FLAIR magnetic resonance.
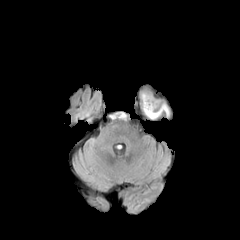
T1-weighted MRI.
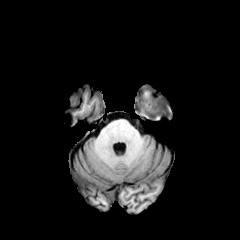
Post-contrast T1-weighted MRI.
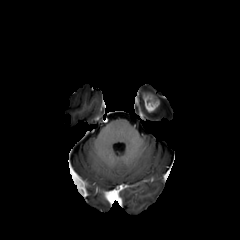
T2-weighted magnetic resonance.
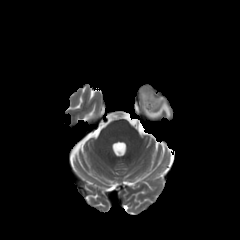
240x240 px; Brain; Axial plane
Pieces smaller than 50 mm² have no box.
* enhancing tumor: <bbox>142, 93, 159, 112</bbox>
* peritumoral edema: <bbox>143, 100, 169, 118</bbox>